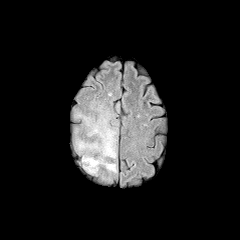
FLAIR MRI.
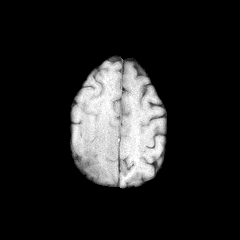
T1-weighted MR of the same slice.
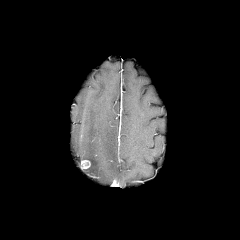
Post-contrast T1-weighted MR.
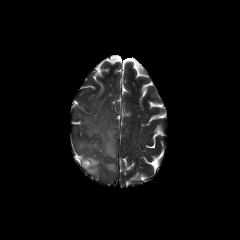
Same slice, T2-weighted MR.
240x240 | Head | Axial plane
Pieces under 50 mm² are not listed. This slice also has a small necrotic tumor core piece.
The largest peritumoral edema region is bounded by left=76, top=105, right=117, bottom=175. The enhancing tumor is bounded by left=80, top=160, right=90, bottom=168.